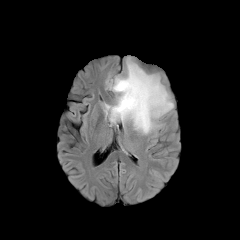
FLAIR MRI.
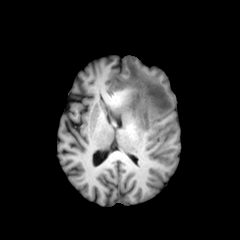
T1-weighted MR image.
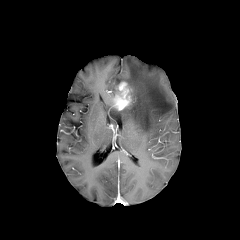
Post-contrast T1-weighted magnetic resonance.
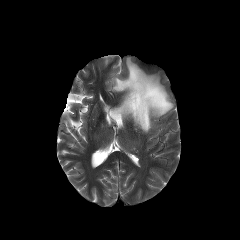
T2-weighted MRI of the same slice.
Image size 240x240, Head
enhancing_tumor:
  - 116:82:131:110
peritumoral_edema:
  - 105:58:173:134